FLAIR MR image.
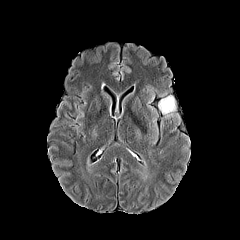
T1-weighted MR image.
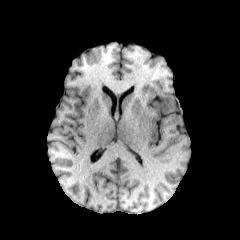
Post-contrast T1-weighted magnetic resonance.
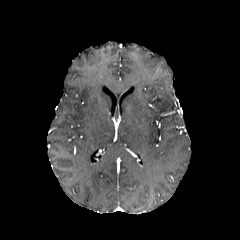
T2-weighted MR image.
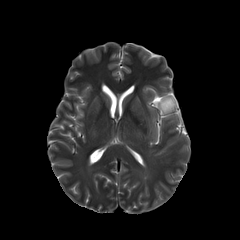
240x240
Annotated regions:
- peritumoral edema: 158:96:176:113